Brain. Axial plane. Slice 96 of 155.
FLAIR MRI.
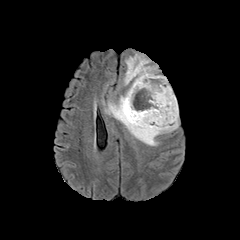
T1-weighted MR image.
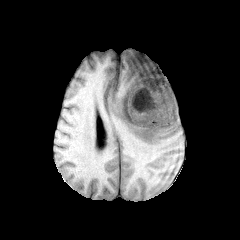
Post-contrast T1-weighted MRI.
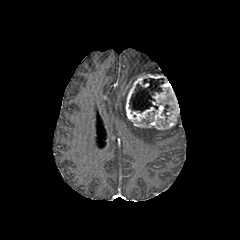
T2-weighted MR.
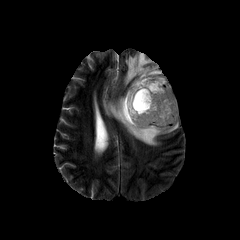
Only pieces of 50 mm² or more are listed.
enhancing tumor — (125,73,178,129)
necrotic tumor core — (129,78,164,112), (163,104,169,119)
peritumoral edema — (105,88,178,145), (124,53,158,85)